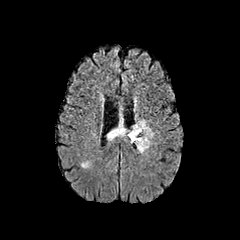
FLAIR MR.
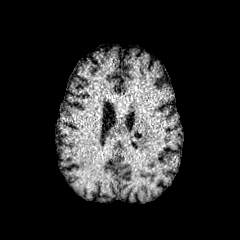
T1-weighted MR of the same slice.
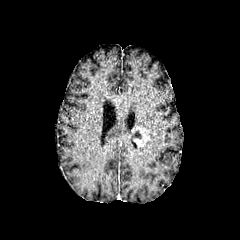
Post-contrast T1-weighted MRI.
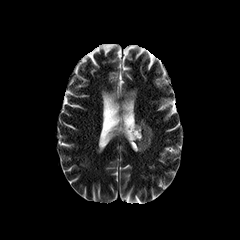
T2-weighted MR image.
Head
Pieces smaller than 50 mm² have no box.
{
  "necrotic_tumor_core": [
    "box(129, 130, 141, 139)"
  ],
  "enhancing_tumor": [
    "box(129, 126, 149, 147)"
  ],
  "peritumoral_edema": [
    "box(133, 120, 153, 152)",
    "box(107, 121, 130, 140)"
  ]
}